Image size 240x240; Head; Image width 240 mm, 1.00 mm slice spacing
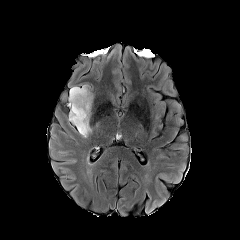
FLAIR MR.
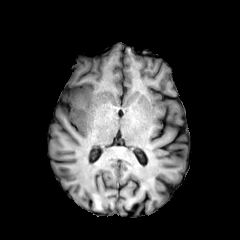
T1-weighted magnetic resonance.
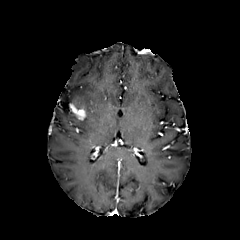
Post-contrast T1-weighted magnetic resonance of the same slice.
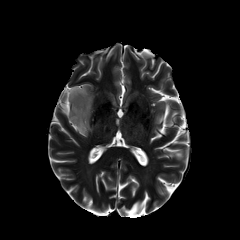
T2-weighted magnetic resonance.
{"enhancing_tumor": ["[x1=69, y1=103, x2=86, y2=120]"], "peritumoral_edema": ["[x1=68, y1=84, x2=93, y2=137]"]}